FLAIR MR image.
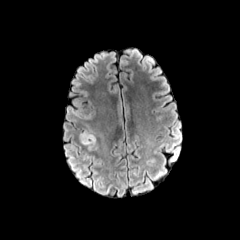
T1-weighted MRI.
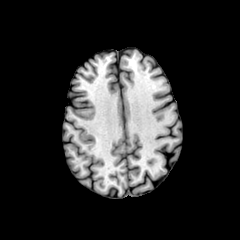
Post-contrast T1-weighted MR.
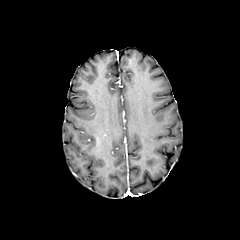
T2-weighted MR image.
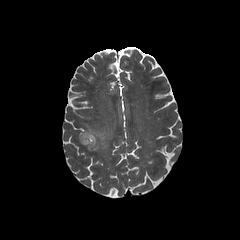
Head; Axial slice; 240x240 px
Findings:
• peritumoral edema: (80,128,96,150)